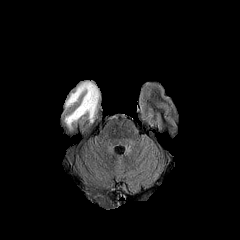
FLAIR magnetic resonance.
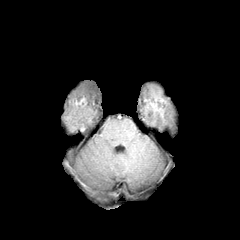
Same slice, T1-weighted MR.
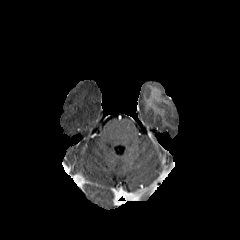
Same slice, post-contrast T1-weighted magnetic resonance.
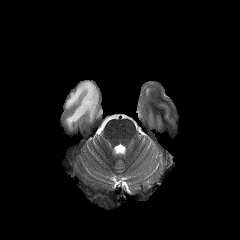
T2-weighted MR of the same slice.
Head
peritumoral edema: [65, 81, 99, 129]